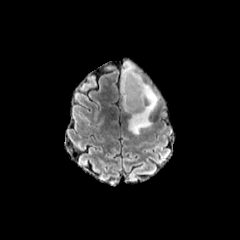
FLAIR magnetic resonance.
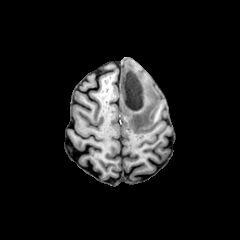
T1-weighted MRI.
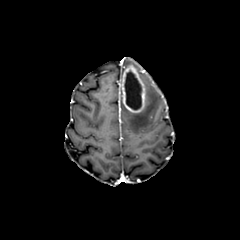
Post-contrast T1-weighted MR image.
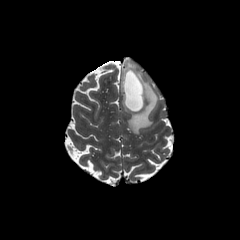
T2-weighted MR of the same slice.
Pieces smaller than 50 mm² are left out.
peritumoral edema: left=128, top=71, right=159, bottom=134 | enhancing tumor: left=121, top=65, right=145, bottom=112 | necrotic tumor core: left=124, top=71, right=141, bottom=109